Brain | Image covers 240 mm x 240 mm | Slice 78/155 | Axial plane
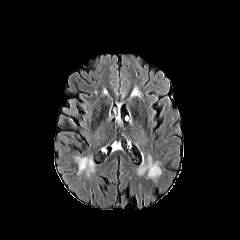
FLAIR MRI.
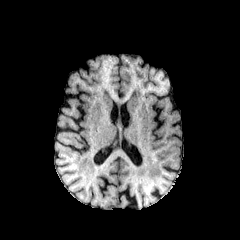
T1-weighted MR.
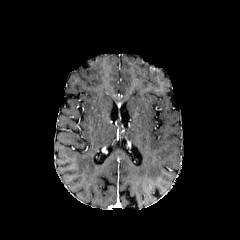
Same slice, post-contrast T1-weighted magnetic resonance.
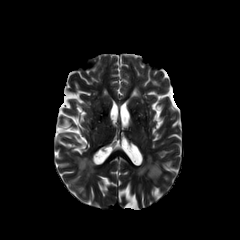
T2-weighted MRI.
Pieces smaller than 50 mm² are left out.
peritumoral edema = <box>131,87,140,97</box>